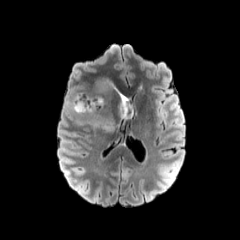
FLAIR MRI.
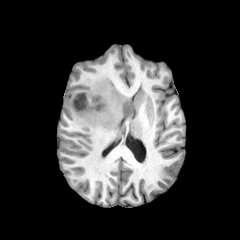
T1-weighted magnetic resonance.
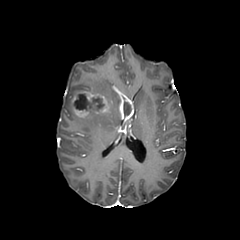
Same slice, post-contrast T1-weighted MR.
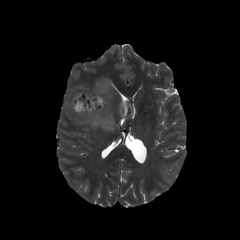
T2-weighted MRI of the same slice.
240x240 px, Brain
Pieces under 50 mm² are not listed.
{
  "necrotic_tumor_core": [
    "rect(73, 94, 104, 111)",
    "rect(124, 101, 131, 116)"
  ],
  "peritumoral_edema": [
    "rect(88, 112, 114, 132)",
    "rect(92, 75, 112, 107)"
  ],
  "enhancing_tumor": [
    "rect(113, 87, 133, 120)",
    "rect(71, 91, 109, 117)"
  ]
}